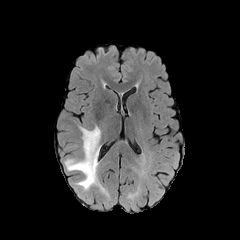
FLAIR MR image.
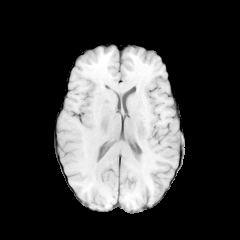
T1-weighted MR.
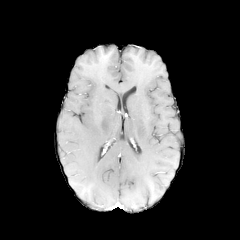
Post-contrast T1-weighted MR image of the same slice.
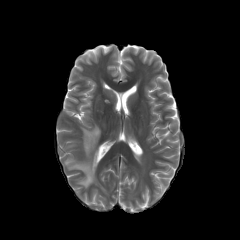
T2-weighted magnetic resonance.
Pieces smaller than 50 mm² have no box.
peritumoral edema: bounding box l=64, t=125, r=107, b=194